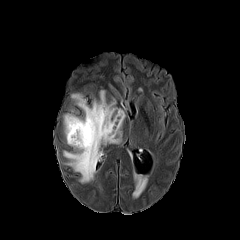
FLAIR magnetic resonance.
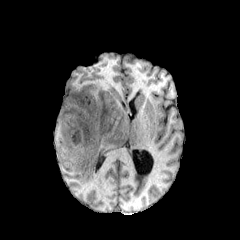
T1-weighted MR.
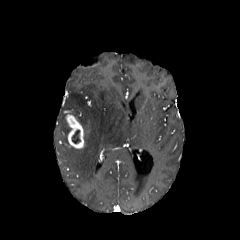
Post-contrast T1-weighted MR image of the same slice.
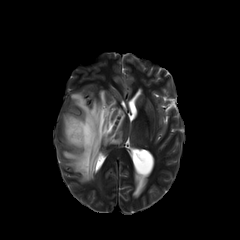
T2-weighted MR image of the same slice.
Axial view
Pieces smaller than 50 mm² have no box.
enhancing tumor: bounding box <bbox>65, 114, 84, 148</bbox>
necrotic tumor core: bounding box <bbox>72, 130, 80, 143</bbox>
peritumoral edema: bounding box <bbox>132, 167, 148, 199</bbox>, <bbox>63, 114, 69, 144</bbox>, <bbox>63, 90, 125, 182</bbox>